Head; Slice 68 of 155; 240x240
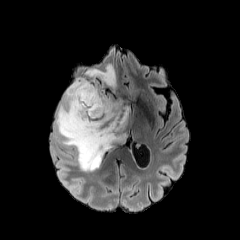
FLAIR magnetic resonance.
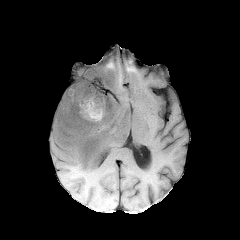
T1-weighted magnetic resonance.
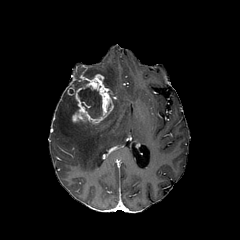
Same slice, post-contrast T1-weighted MR.
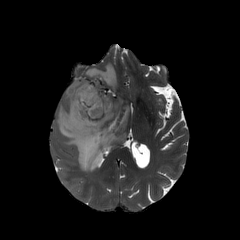
T2-weighted magnetic resonance of the same slice.
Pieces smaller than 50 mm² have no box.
enhancing tumor = l=67, t=74, r=113, b=125
necrotic tumor core = l=78, t=86, r=102, b=118; l=75, t=80, r=88, b=90
peritumoral edema = l=83, t=63, r=117, b=91; l=55, t=87, r=129, b=171